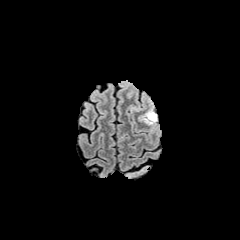
FLAIR MR image.
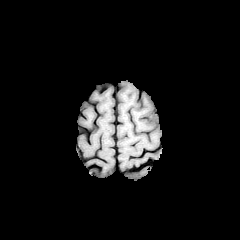
T1-weighted MRI.
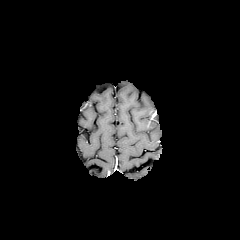
Post-contrast T1-weighted magnetic resonance.
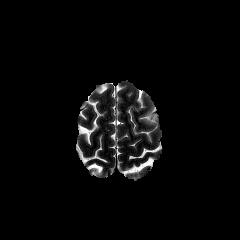
T2-weighted MRI.
Brain
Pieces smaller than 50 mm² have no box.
peritumoral_edema:
  - left=138, top=100, right=157, bottom=130